FLAIR magnetic resonance.
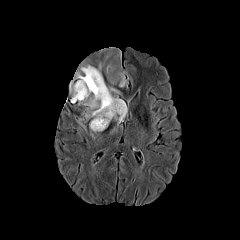
T1-weighted MR.
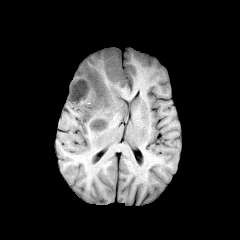
Post-contrast T1-weighted MRI.
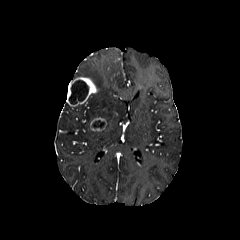
T2-weighted MR image.
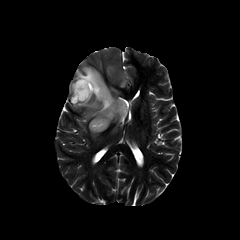
Axial slice; 240x240; Head
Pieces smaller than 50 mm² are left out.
2 necrotic tumor core regions are located at [68,80,88,104], [92,120,104,128]. 2 enhancing tumor regions are bounded by [90,117,106,131], [66,76,98,106]. The largest peritumoral edema region appears at [73,47,127,134].